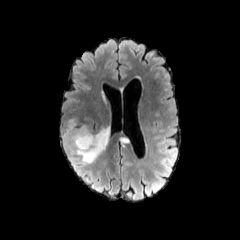
FLAIR MRI.
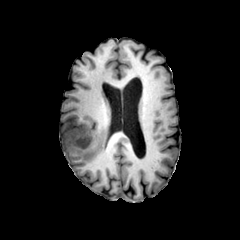
T1-weighted MR image.
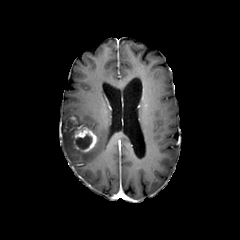
Post-contrast T1-weighted MR image.
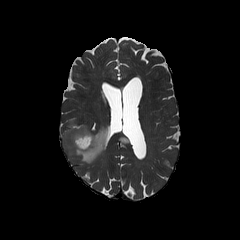
Same slice, T2-weighted magnetic resonance.
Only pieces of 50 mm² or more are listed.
The enhancing tumor is located at [69,116,97,152]. The 2 largest peritumoral edema regions appear at [119,136,129,144], [62,117,110,163]. The necrotic tumor core appears at [76,133,93,149].